Head | Axial view | Image width 240 mm, 1.00 mm slice spacing
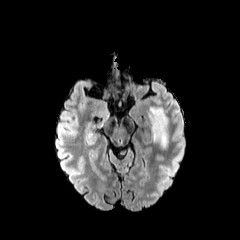
FLAIR MR image.
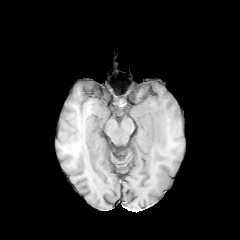
T1-weighted MR image of the same slice.
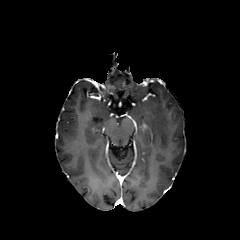
Post-contrast T1-weighted MR image of the same slice.
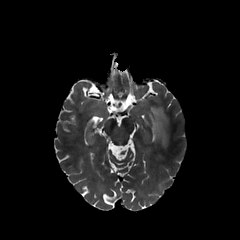
T2-weighted MR of the same slice.
peritumoral edema at l=148, t=105, r=168, b=147